FLAIR magnetic resonance.
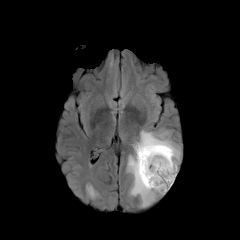
T1-weighted MR image.
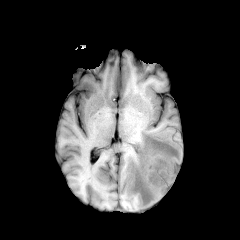
Post-contrast T1-weighted MR.
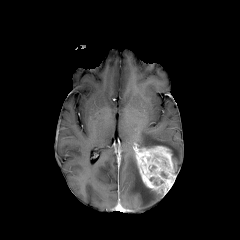
T2-weighted MR.
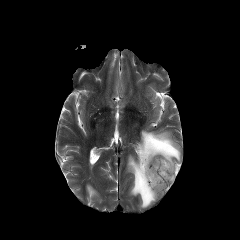
240x240 px
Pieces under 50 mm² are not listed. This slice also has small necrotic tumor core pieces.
peritumoral edema: {"x1": 127, "y1": 154, "x2": 164, "y2": 207}, {"x1": 133, "y1": 130, "x2": 181, "y2": 172}
enhancing tumor: {"x1": 134, "y1": 144, "x2": 177, "y2": 194}